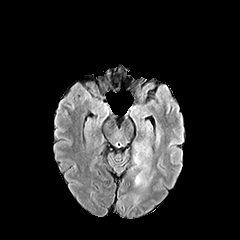
FLAIR MRI.
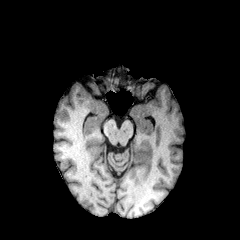
T1-weighted MR of the same slice.
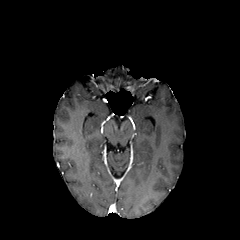
Post-contrast T1-weighted MRI of the same slice.
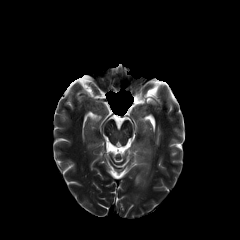
T2-weighted MR.
Brain
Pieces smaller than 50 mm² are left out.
The 2 largest peritumoral edema regions are located at box=[134, 153, 141, 163]; box=[135, 171, 146, 185].